FLAIR MRI.
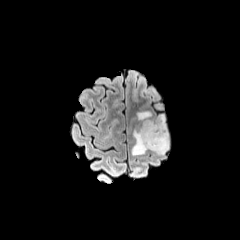
T1-weighted magnetic resonance.
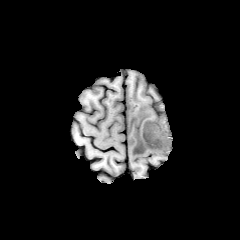
Post-contrast T1-weighted magnetic resonance.
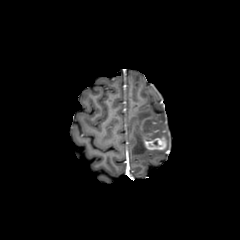
T2-weighted magnetic resonance.
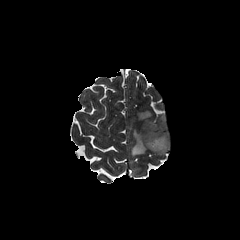
Brain. Axial slice.
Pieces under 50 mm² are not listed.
Annotated regions:
* peritumoral edema: 131:111:169:155
* necrotic tumor core: 149:140:162:146
* enhancing tumor: 144:134:167:150